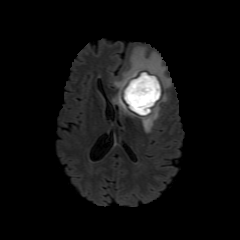
FLAIR MR image.
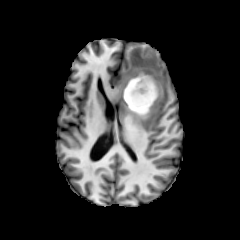
Same slice, T1-weighted magnetic resonance.
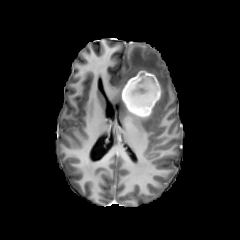
Post-contrast T1-weighted magnetic resonance of the same slice.
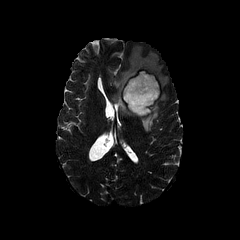
T2-weighted magnetic resonance.
Axial slice, Image size 240x240, Brain
necrotic tumor core at region(125, 77, 155, 112)
enhancing tumor at region(122, 69, 160, 116)
peritumoral edema at region(113, 46, 170, 132)